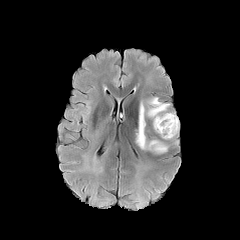
FLAIR MRI.
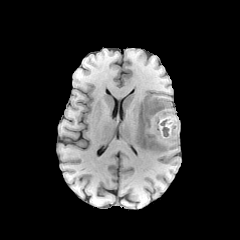
T1-weighted magnetic resonance of the same slice.
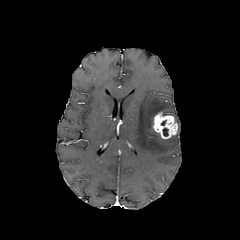
Post-contrast T1-weighted MR of the same slice.
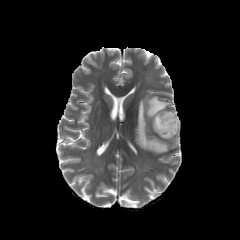
Same slice, T2-weighted MR image.
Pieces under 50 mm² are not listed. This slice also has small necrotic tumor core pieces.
peritumoral edema: x1=136 y1=97 x2=179 y2=153
enhancing tumor: x1=153 y1=112 x2=178 y2=139